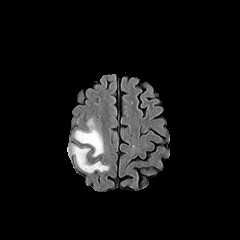
FLAIR MR.
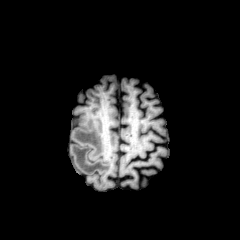
T1-weighted MR.
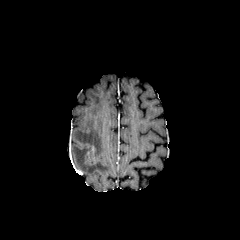
Post-contrast T1-weighted MR image.
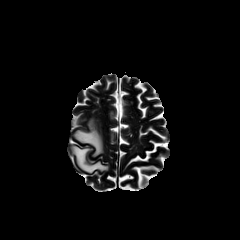
T2-weighted MR image.
Findings:
* peritumoral edema: x1=74, y1=118, x2=103, y2=156; x1=72, y1=145, x2=109, y2=173